Axial plane | Slice index 134 | Head | Image width 240 mm
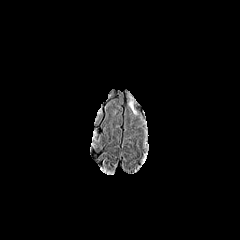
FLAIR MR.
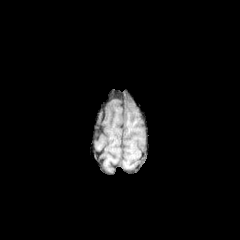
T1-weighted MR.
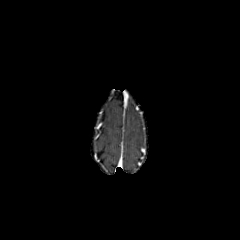
Post-contrast T1-weighted MRI of the same slice.
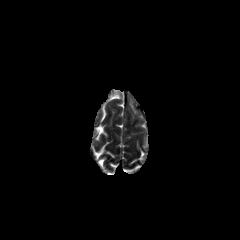
T2-weighted MRI.
The peritumoral edema is at (129, 102, 137, 114).